FLAIR MR image.
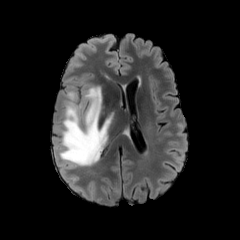
T1-weighted MRI.
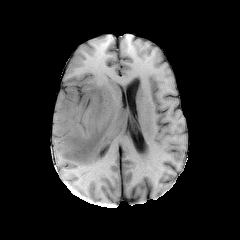
Post-contrast T1-weighted magnetic resonance.
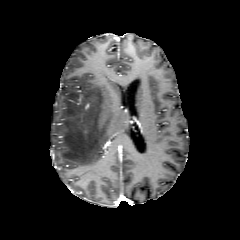
T2-weighted magnetic resonance.
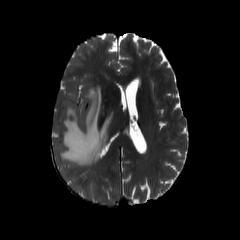
Brain
The peritumoral edema is at bbox=[58, 86, 113, 166].